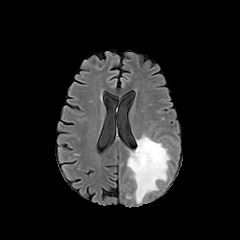
FLAIR MR.
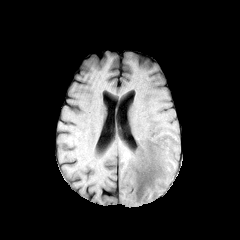
T1-weighted magnetic resonance.
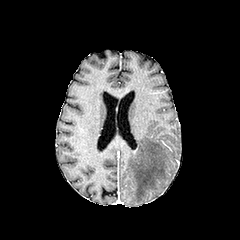
Same slice, post-contrast T1-weighted MR.
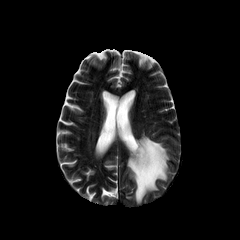
Same slice, T2-weighted MR.
Brain
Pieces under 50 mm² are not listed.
peritumoral_edema:
  - left=127, top=134, right=169, bottom=203